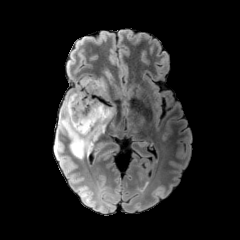
FLAIR MRI.
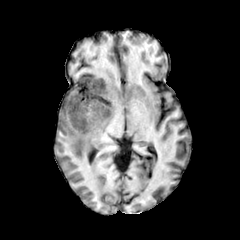
Same slice, T1-weighted magnetic resonance.
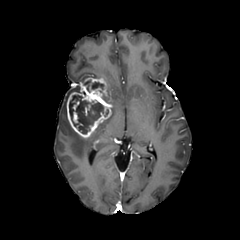
Post-contrast T1-weighted MRI.
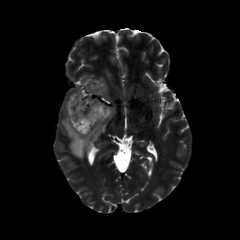
T2-weighted MRI of the same slice.
Brain
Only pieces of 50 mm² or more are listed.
<segmentation>
  <peritumoral_edema>(left=105, top=71, right=113, bottom=85), (left=58, top=86, right=115, bottom=158)</peritumoral_edema>
  <necrotic_tumor_core>(left=69, top=95, right=103, bottom=133), (left=91, top=82, right=103, bottom=89)</necrotic_tumor_core>
  <enhancing_tumor>(left=73, top=101, right=79, bottom=122), (left=66, top=77, right=111, bottom=138)</enhancing_tumor>
</segmentation>